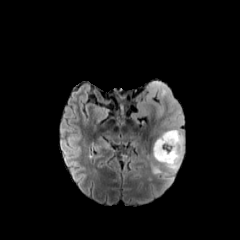
FLAIR MRI.
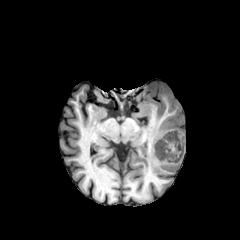
Same slice, T1-weighted magnetic resonance.
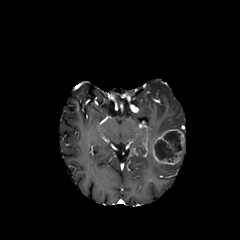
Same slice, post-contrast T1-weighted MRI.
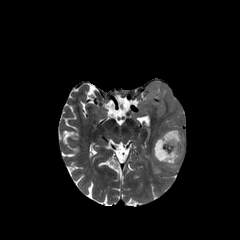
Same slice, T2-weighted MR.
Axial view
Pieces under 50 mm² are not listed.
necrotic_tumor_core:
  - {"x1": 155, "y1": 131, "x2": 181, "y2": 161}
peritumoral_edema:
  - {"x1": 152, "y1": 159, "x2": 180, "y2": 174}
  - {"x1": 134, "y1": 80, "x2": 184, "y2": 136}
enhancing_tumor:
  - {"x1": 152, "y1": 129, "x2": 184, "y2": 164}